FLAIR magnetic resonance.
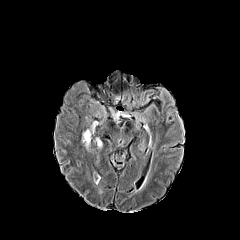
T1-weighted MR image.
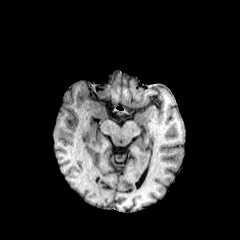
Post-contrast T1-weighted magnetic resonance.
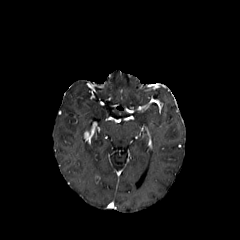
T2-weighted MRI.
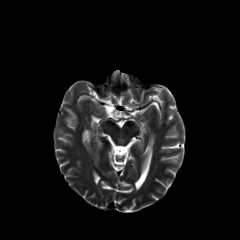
Axial slice, Head
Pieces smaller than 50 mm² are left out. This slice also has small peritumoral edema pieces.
The largest enhancing tumor region is at 84 131 93 143.